Brain, 240x240 px, Axial view, Slice index 36
FLAIR MRI.
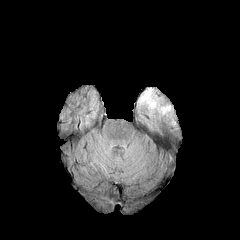
T1-weighted MRI.
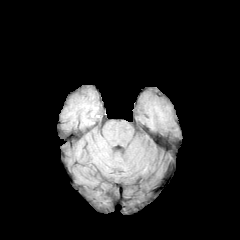
Post-contrast T1-weighted magnetic resonance.
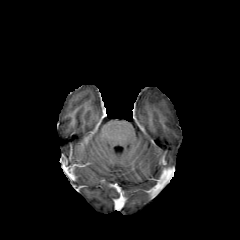
T2-weighted MR image.
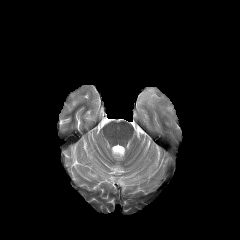
peritumoral_edema:
  - (left=140, top=88, right=171, bottom=113)